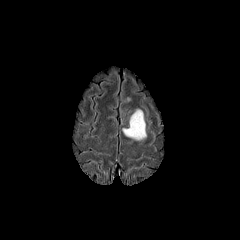
FLAIR MRI.
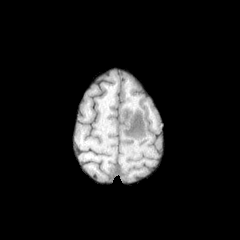
T1-weighted MRI of the same slice.
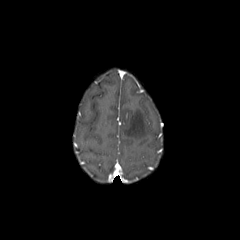
Post-contrast T1-weighted MRI of the same slice.
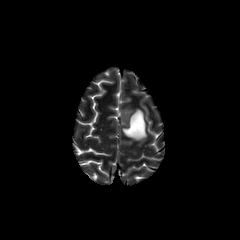
Same slice, T2-weighted MRI.
The peritumoral edema lies within [x1=122, y1=109, x2=146, y2=140].